FLAIR magnetic resonance.
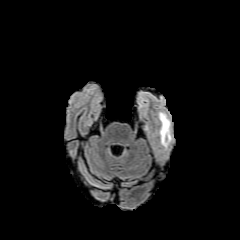
T1-weighted MRI.
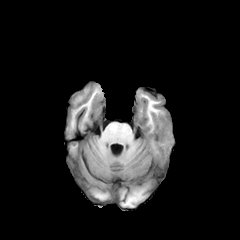
Post-contrast T1-weighted magnetic resonance.
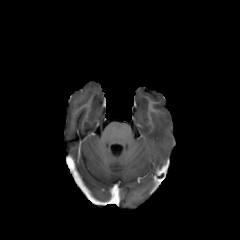
T2-weighted MRI.
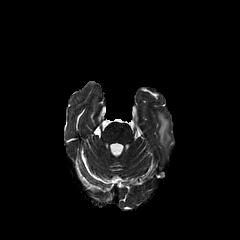
Axial plane
Segmented structures:
• peritumoral edema: [159,112,171,146]